Axial view, Image width 240 mm
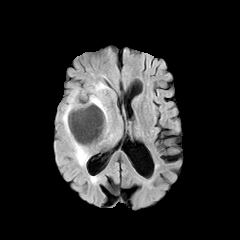
FLAIR MRI.
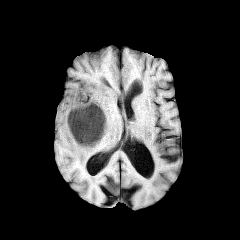
T1-weighted MR image.
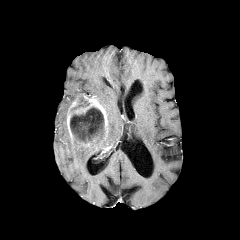
Post-contrast T1-weighted magnetic resonance.
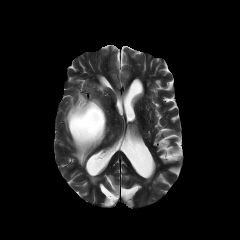
T2-weighted MRI.
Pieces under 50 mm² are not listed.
enhancing_tumor:
  - {"x1": 67, "y1": 95, "x2": 107, "y2": 141}
  - {"x1": 77, "y1": 137, "x2": 99, "y2": 147}
necrotic_tumor_core:
  - {"x1": 71, "y1": 95, "x2": 89, "y2": 110}
  - {"x1": 70, "y1": 107, "x2": 104, "y2": 143}
peritumoral_edema:
  - {"x1": 90, "y1": 82, "x2": 109, "y2": 138}
  - {"x1": 62, "y1": 89, "x2": 101, "y2": 165}